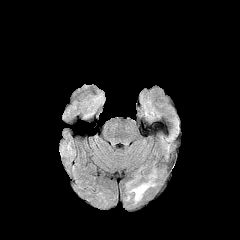
FLAIR MR.
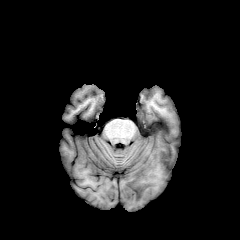
T1-weighted magnetic resonance.
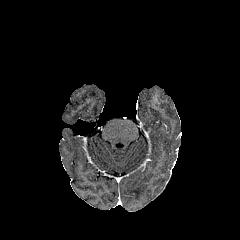
Same slice, post-contrast T1-weighted MR.
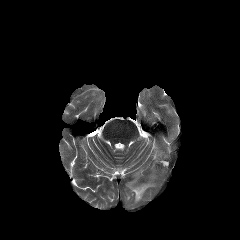
T2-weighted MR of the same slice.
240x240; Axial view
The peritumoral edema is bounded by [x1=132, y1=183, x2=149, y2=200].